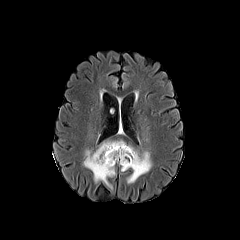
FLAIR magnetic resonance.
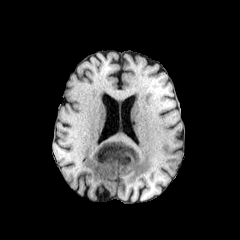
T1-weighted MR image of the same slice.
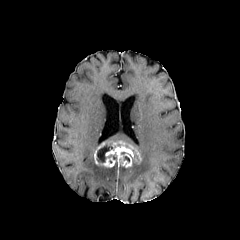
Post-contrast T1-weighted MRI.
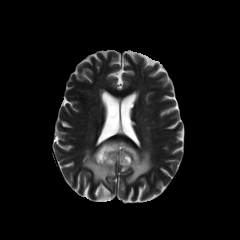
Same slice, T2-weighted MR image.
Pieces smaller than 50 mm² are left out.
necrotic_tumor_core:
  - x1=97, y1=145, x2=112, y2=162
peritumoral_edema:
  - x1=83, y1=150, x2=115, y2=189
  - x1=127, y1=151, x2=151, y2=183
enhancing_tumor:
  - x1=94, y1=140, x2=141, y2=167